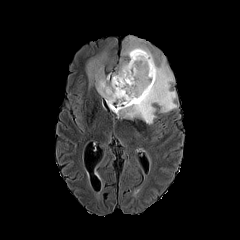
FLAIR MRI.
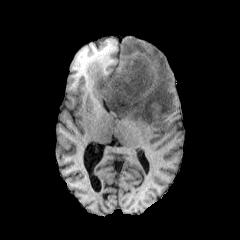
T1-weighted magnetic resonance of the same slice.
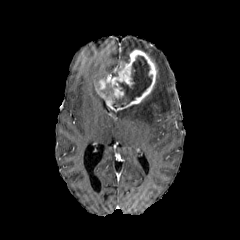
Post-contrast T1-weighted magnetic resonance.
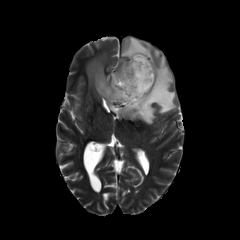
T2-weighted magnetic resonance.
Axial plane, 240x240
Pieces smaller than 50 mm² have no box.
peritumoral edema: [121, 35, 154, 59], [112, 55, 178, 124], [84, 48, 107, 89]
enhancing tumor: [95, 49, 157, 111]
necrotic tumor core: [112, 55, 152, 109]